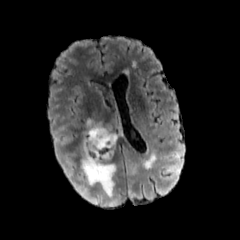
FLAIR magnetic resonance.
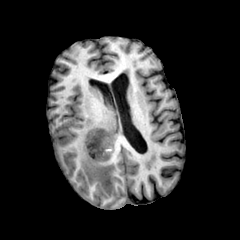
T1-weighted MR image.
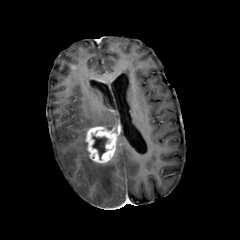
Post-contrast T1-weighted MR.
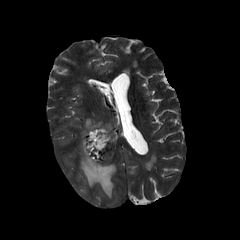
Same slice, T2-weighted magnetic resonance.
Axial slice. Image size 240x240.
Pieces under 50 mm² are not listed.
{"enhancing_tumor": ["(85, 126, 119, 163)"], "necrotic_tumor_core": ["(92, 136, 107, 159)"], "peritumoral_edema": ["(81, 139, 116, 197)", "(86, 119, 101, 128)"]}